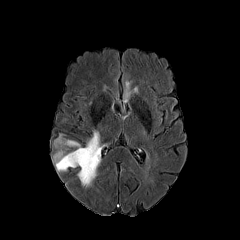
FLAIR MR image.
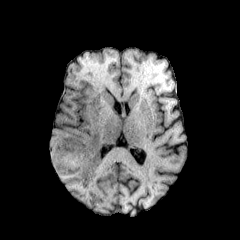
Same slice, T1-weighted MR.
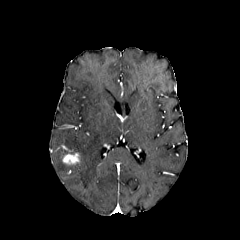
Post-contrast T1-weighted MRI.
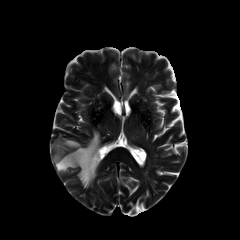
T2-weighted magnetic resonance.
Head
The enhancing tumor lies within region(62, 152, 80, 164). The peritumoral edema is bounded by region(52, 130, 101, 186).